FLAIR MRI.
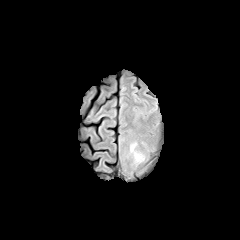
T1-weighted magnetic resonance.
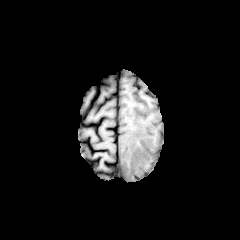
Post-contrast T1-weighted MRI.
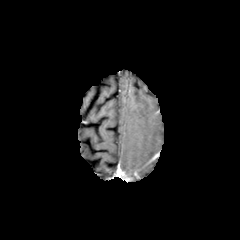
T2-weighted MRI.
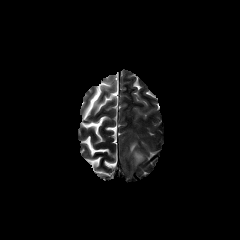
Brain. Axial plane.
peritumoral edema at (130,142,144,164)